FLAIR MR.
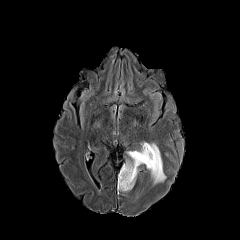
T1-weighted MR image.
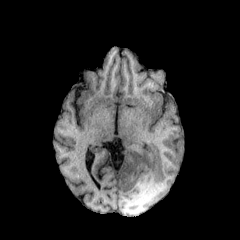
Post-contrast T1-weighted magnetic resonance.
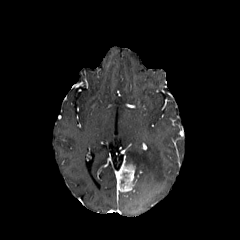
T2-weighted MRI.
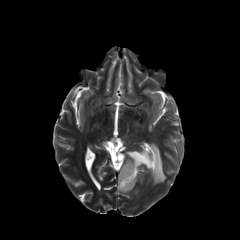
Image size 240x240 | Brain
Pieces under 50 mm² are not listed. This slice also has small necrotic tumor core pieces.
peritumoral edema: rect(127, 143, 165, 183) | enhancing tumor: rect(119, 164, 135, 191)